240x240; Image width 240 mm; Slice index 67
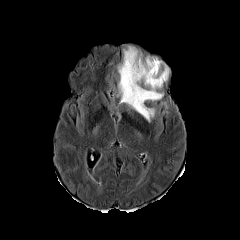
FLAIR MR image.
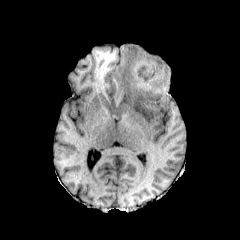
T1-weighted MRI.
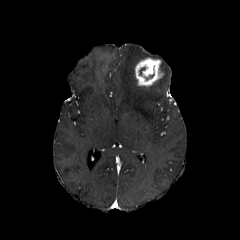
Post-contrast T1-weighted MR image.
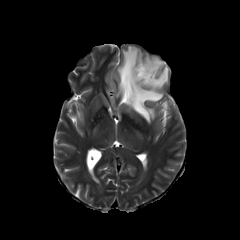
Same slice, T2-weighted MR.
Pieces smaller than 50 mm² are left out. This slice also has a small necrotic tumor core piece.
Segmented structures:
* peritumoral edema: 117:45:169:122
* enhancing tumor: 135:58:163:86